Image width 240 mm | Axial plane | Brain
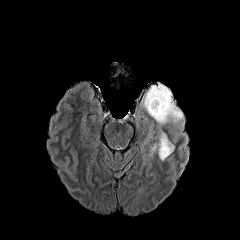
FLAIR MR image.
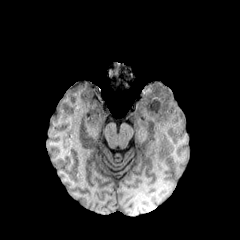
T1-weighted MR image.
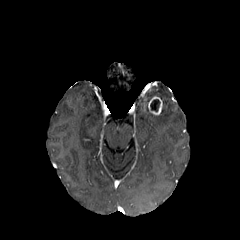
Post-contrast T1-weighted MRI of the same slice.
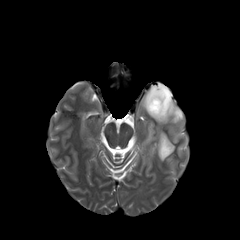
T2-weighted magnetic resonance of the same slice.
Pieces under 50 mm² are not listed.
The enhancing tumor appears at l=148, t=96, r=162, b=115. 2 peritumoral edema regions are located at l=151, t=131, r=174, b=160; l=141, t=83, r=183, b=125. The largest necrotic tumor core region is at l=150, t=99, r=160, b=111.